FLAIR MR image.
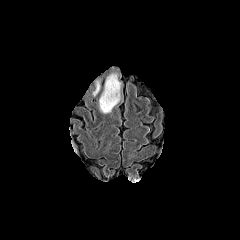
T1-weighted MR image.
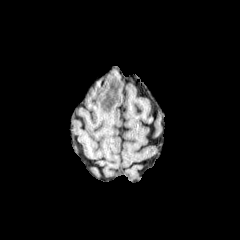
Post-contrast T1-weighted MR.
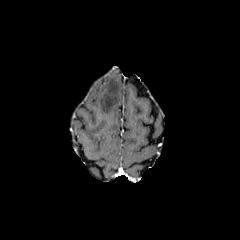
T2-weighted magnetic resonance.
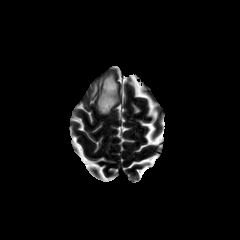
Head
2 peritumoral edema regions are bounded by left=93, top=81, right=100, bottom=95; left=99, top=74, right=120, bottom=113.